Head; Axial view; Slice 45 of 155
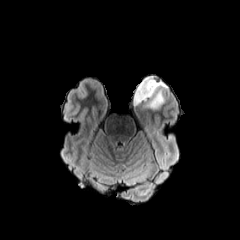
FLAIR MR.
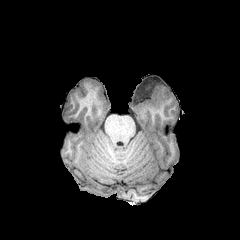
T1-weighted magnetic resonance of the same slice.
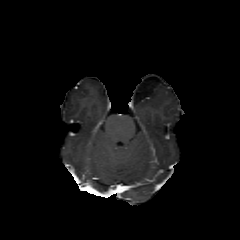
Post-contrast T1-weighted MRI.
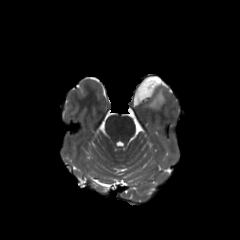
Same slice, T2-weighted MRI.
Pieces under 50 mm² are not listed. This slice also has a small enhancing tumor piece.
The peritumoral edema lies within bbox=[133, 76, 167, 109].